Brain, Image width 240 mm
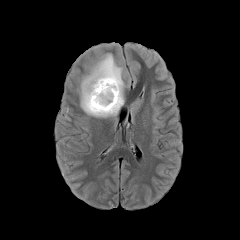
FLAIR MR.
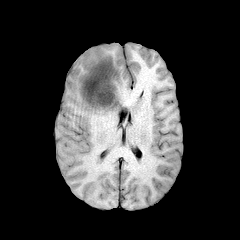
T1-weighted MRI.
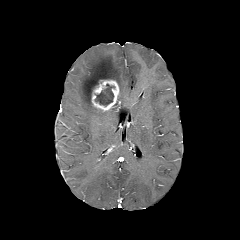
Post-contrast T1-weighted MRI.
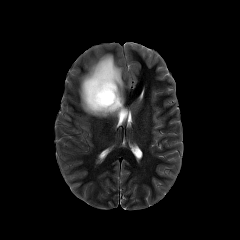
Same slice, T2-weighted MRI.
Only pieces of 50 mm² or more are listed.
The largest necrotic tumor core region is at (left=95, top=84, right=114, bottom=105). The largest enhancing tumor region is bounded by (left=91, top=80, right=119, bottom=111). The peritumoral edema appears at (left=79, top=53, right=124, bottom=117).